FLAIR magnetic resonance.
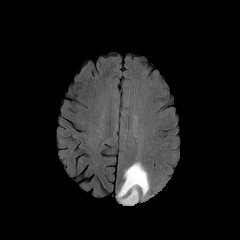
T1-weighted magnetic resonance.
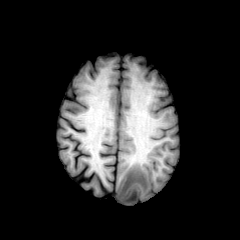
Post-contrast T1-weighted MRI.
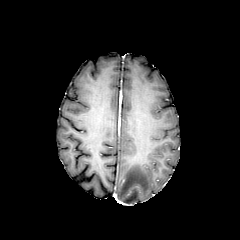
T2-weighted MR.
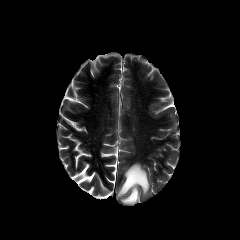
Axial plane | Brain
peritumoral edema: bounding box {"x1": 117, "y1": 162, "x2": 149, "y2": 204}